Axial slice | Image width 240 mm | Slice 83/155
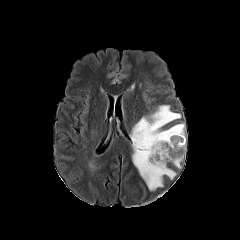
FLAIR MR.
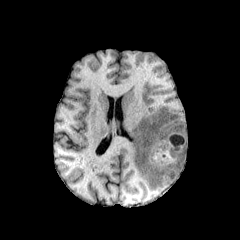
T1-weighted MRI of the same slice.
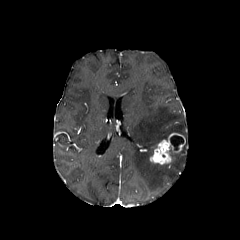
Post-contrast T1-weighted magnetic resonance.
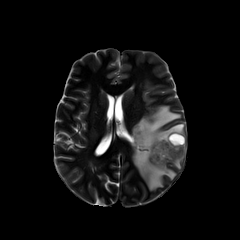
Same slice, T2-weighted MRI.
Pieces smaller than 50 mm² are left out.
necrotic_tumor_core:
  - (left=170, top=135, right=183, bottom=150)
peritumoral_edema:
  - (left=131, top=105, right=185, bottom=190)
  - (left=170, top=144, right=185, bottom=168)
enhancing_tumor:
  - (left=150, top=133, right=185, bottom=164)